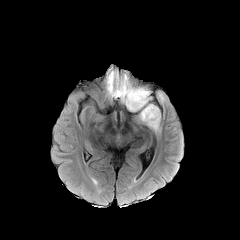
FLAIR MRI.
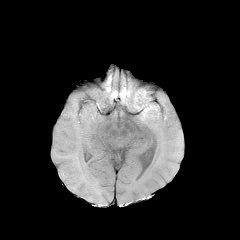
T1-weighted MRI of the same slice.
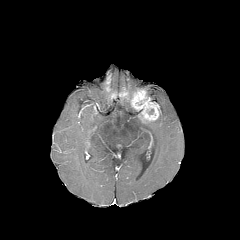
Post-contrast T1-weighted MR.
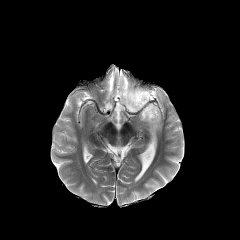
T2-weighted MRI.
Axial plane; 240x240
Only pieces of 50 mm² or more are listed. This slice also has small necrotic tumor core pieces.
The 3 largest peritumoral edema regions appear at [157, 92, 164, 102], [146, 113, 160, 131], [115, 82, 144, 111]. The enhancing tumor appears at [130, 89, 159, 122].